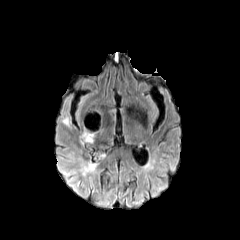
FLAIR MRI.
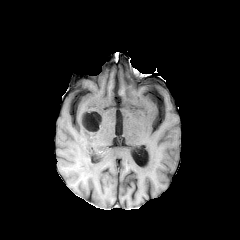
T1-weighted MR.
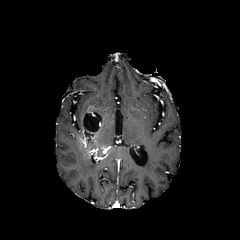
Post-contrast T1-weighted MRI of the same slice.
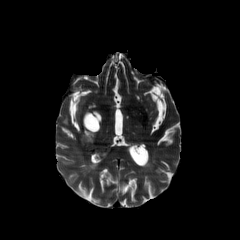
T2-weighted MR image of the same slice.
Head
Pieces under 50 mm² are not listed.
The enhancing tumor is bounded by box(78, 110, 107, 156). The largest peritumoral edema region is located at box(78, 154, 97, 176). The largest necrotic tumor core region appears at box(83, 112, 101, 130).